FLAIR magnetic resonance.
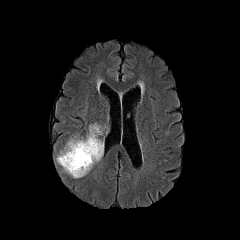
T1-weighted MR image.
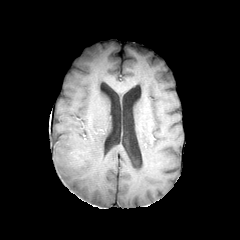
Post-contrast T1-weighted MRI.
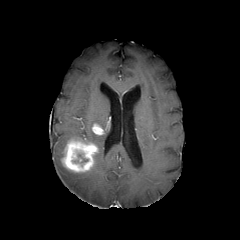
T2-weighted MR.
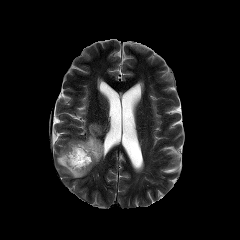
Head.
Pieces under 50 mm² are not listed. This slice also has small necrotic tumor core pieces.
peritumoral_edema:
  - left=56, top=147, right=89, bottom=178
  - left=68, top=124, right=103, bottom=165
enhancing_tumor:
  - left=92, top=124, right=103, bottom=135
  - left=61, top=139, right=98, bottom=172